FLAIR MRI.
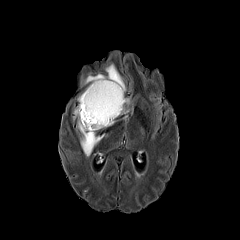
T1-weighted MRI.
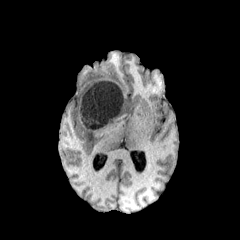
Post-contrast T1-weighted MR image.
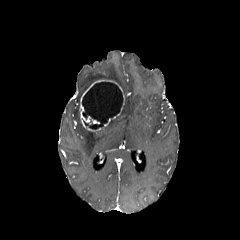
T2-weighted MR image.
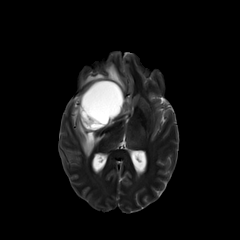
240x240. Brain.
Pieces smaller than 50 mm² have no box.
necrotic tumor core: bounding box (82, 82, 123, 129)
enhancing tumor: bounding box (79, 79, 124, 131)
peritumoral edema: bounding box (73, 105, 104, 156), (121, 97, 133, 119), (81, 63, 126, 92)